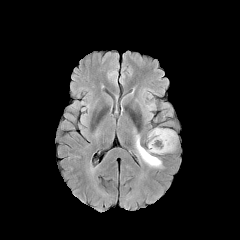
FLAIR MR image.
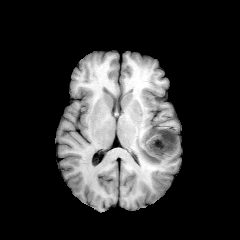
T1-weighted magnetic resonance.
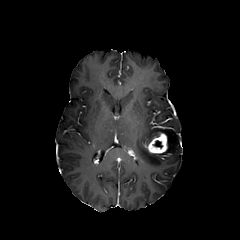
Post-contrast T1-weighted magnetic resonance of the same slice.
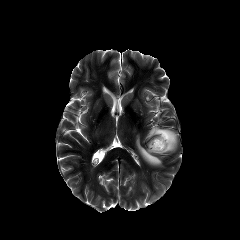
T2-weighted magnetic resonance.
Head, Axial plane, 240x240
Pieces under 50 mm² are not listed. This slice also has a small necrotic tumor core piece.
Segmented structures:
* enhancing tumor: region(147, 132, 168, 153)
* peritumoral edema: region(135, 135, 161, 167); region(148, 128, 177, 152)